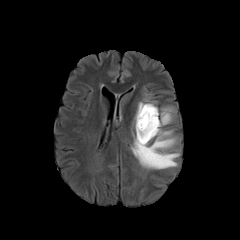
FLAIR MRI.
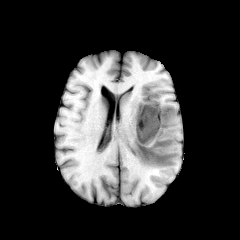
T1-weighted MR image.
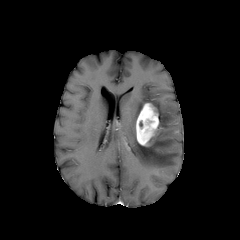
Post-contrast T1-weighted MRI.
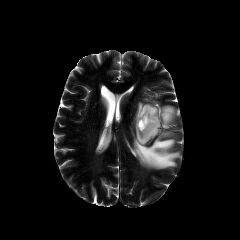
T2-weighted MR image.
240x240 px
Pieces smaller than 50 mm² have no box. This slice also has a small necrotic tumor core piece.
peritumoral edema: (131,99,179,169) | enhancing tumor: (136,103,159,145)